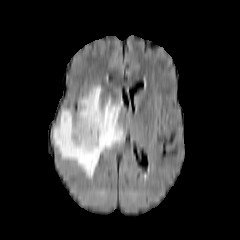
FLAIR MR.
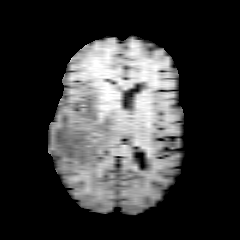
T1-weighted magnetic resonance.
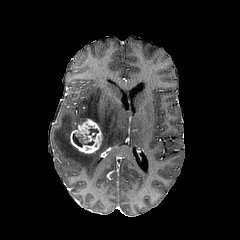
Post-contrast T1-weighted magnetic resonance.
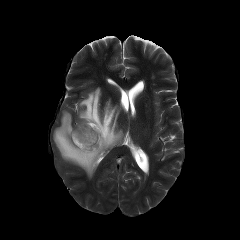
T2-weighted MR image.
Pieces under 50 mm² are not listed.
The peritumoral edema lies within 53 86 124 177. The largest necrotic tumor core region lies within 73 134 94 146. The largest enhancing tumor region lies within 70 119 102 153.